Axial plane, Slice index 71
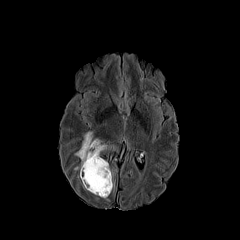
FLAIR MR image.
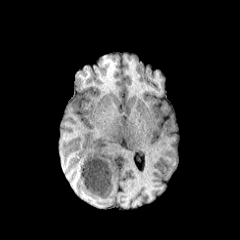
T1-weighted magnetic resonance of the same slice.
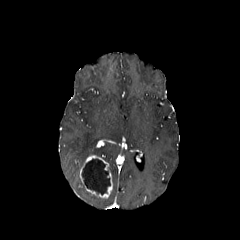
Post-contrast T1-weighted MRI.
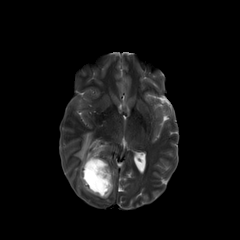
T2-weighted MRI.
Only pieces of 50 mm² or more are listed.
Findings:
* peritumoral edema: <box>75,132,107,166</box>
* necrotic tumor core: <box>82,159,110,194</box>
* enhancing tumor: <box>79,155,112,198</box>